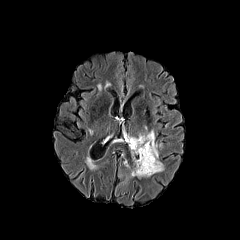
FLAIR MR image.
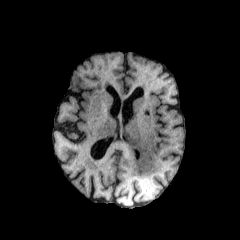
T1-weighted magnetic resonance.
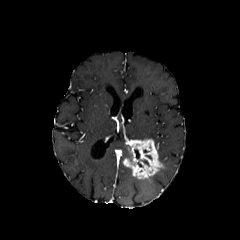
Post-contrast T1-weighted MRI.
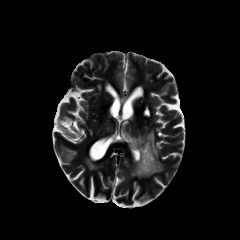
Same slice, T2-weighted MR.
240x240 | Head
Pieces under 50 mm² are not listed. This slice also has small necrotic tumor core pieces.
enhancing tumor: region(123, 138, 163, 178)
peritumoral edema: region(127, 130, 155, 141)